FLAIR MRI.
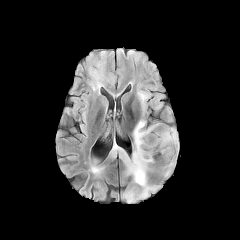
T1-weighted MR image.
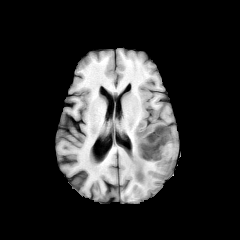
Post-contrast T1-weighted magnetic resonance.
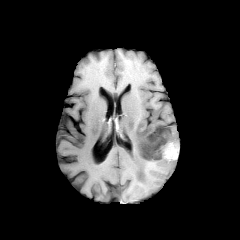
T2-weighted magnetic resonance.
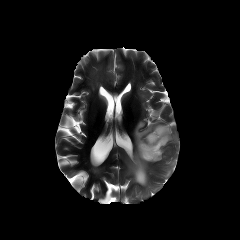
Brain
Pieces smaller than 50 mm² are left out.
Annotated regions:
• enhancing tumor: x1=140 y1=127 x2=177 y2=160
• peritumoral edema: x1=164 y1=159 x2=175 y2=176, x1=121 y1=119 x2=178 y2=197
• necrotic tumor core: x1=141 y1=128 x2=170 y2=159